FLAIR MR.
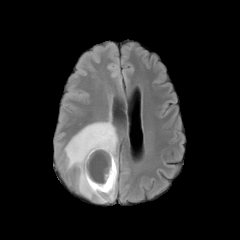
T1-weighted MRI.
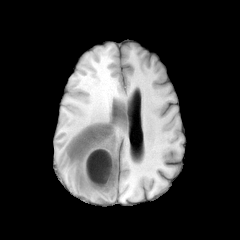
Post-contrast T1-weighted MR.
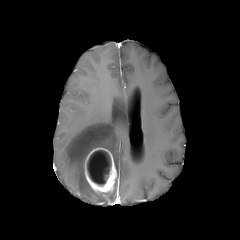
T2-weighted magnetic resonance.
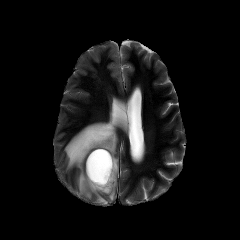
Axial slice; Brain; Image size 240x240
The enhancing tumor appears at [85,147,116,192]. The necrotic tumor core is located at [87,150,111,184]. The peritumoral edema lies within [64,119,118,202].